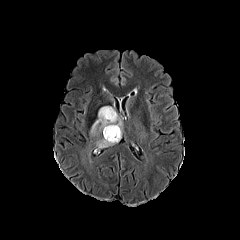
FLAIR MRI.
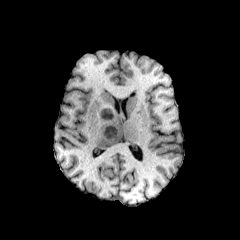
T1-weighted MR.
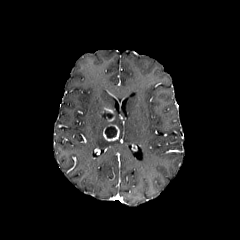
Post-contrast T1-weighted magnetic resonance.
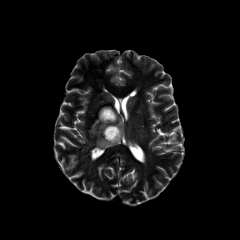
T2-weighted MR image.
Head.
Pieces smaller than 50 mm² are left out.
The 2 largest peritumoral edema regions appear at 96 110 121 147, 90 107 109 135. 2 necrotic tumor core regions are located at 101 111 113 119, 105 126 116 138. The largest enhancing tumor region lies within 99 107 119 141.